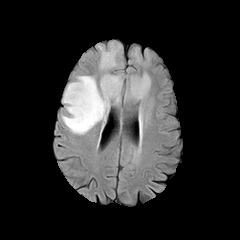
FLAIR magnetic resonance.
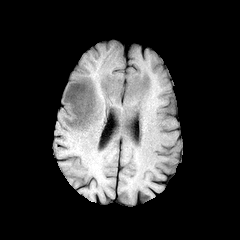
Same slice, T1-weighted MR image.
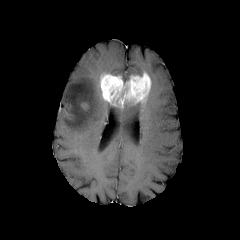
Same slice, post-contrast T1-weighted MRI.
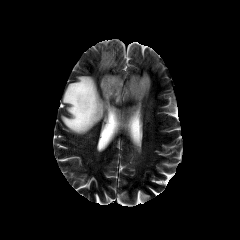
T2-weighted MR image of the same slice.
240x240
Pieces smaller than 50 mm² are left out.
The 3 largest peritumoral edema regions are located at <box>139,102,143,125</box>, <box>61,75,110,134</box>, <box>99,43,120,70</box>. The largest enhancing tumor region appears at <box>100,72,151,104</box>.